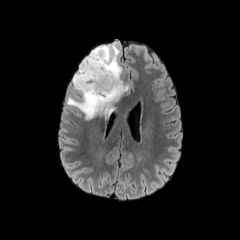
FLAIR MRI.
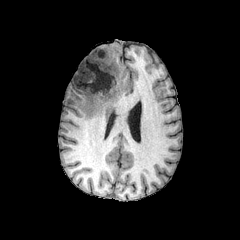
Same slice, T1-weighted MR image.
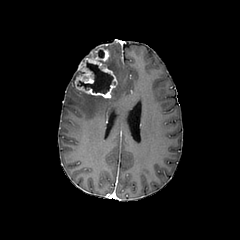
Post-contrast T1-weighted magnetic resonance.
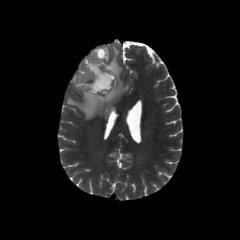
T2-weighted MR image of the same slice.
Axial view, Image size 240x240, Head
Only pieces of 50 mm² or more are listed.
enhancing tumor: 74, 47, 117, 98
necrotic tumor core: 97, 50, 104, 58; 77, 61, 113, 93
peritumoral edema: 67, 44, 128, 119